Axial view; Brain; Slice 83/155; Image covers 240 mm x 240 mm
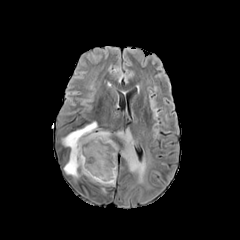
FLAIR MR.
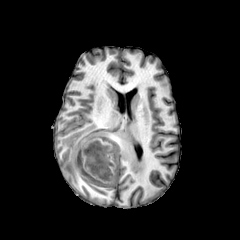
T1-weighted MR.
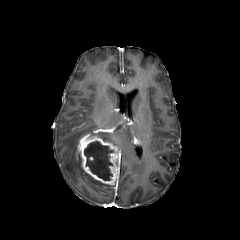
Post-contrast T1-weighted MR of the same slice.
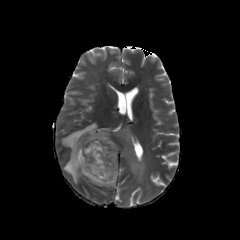
T2-weighted magnetic resonance of the same slice.
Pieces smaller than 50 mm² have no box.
The largest enhancing tumor region is located at (x1=77, y1=133, x2=119, y2=185). The 2 largest peritumoral edema regions are bounded by (x1=62, y1=122, x2=112, y2=186), (x1=117, y1=129, x2=146, y2=182). The largest necrotic tumor core region lies within (x1=84, y1=141, x2=113, y2=180).